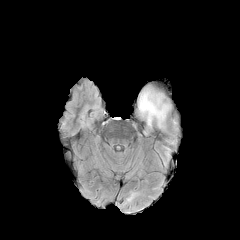
FLAIR MR image.
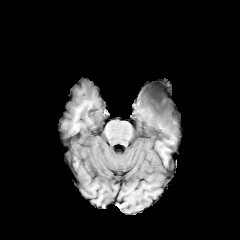
T1-weighted magnetic resonance.
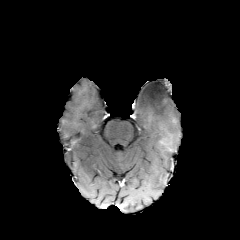
Post-contrast T1-weighted magnetic resonance.
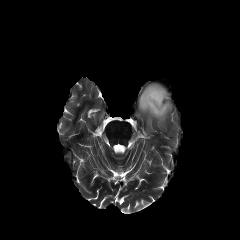
T2-weighted MRI of the same slice.
Brain, 240x240 px
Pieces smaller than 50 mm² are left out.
Findings:
* peritumoral edema: box=[138, 85, 171, 129]
* necrotic tumor core: box=[145, 85, 165, 107]